Slice index 71 | Axial view | Image size 240x240 | Image width 240 mm, 1.00 mm slice spacing
FLAIR magnetic resonance.
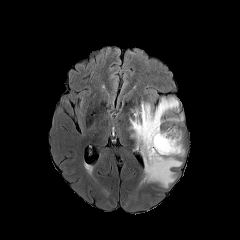
T1-weighted MRI.
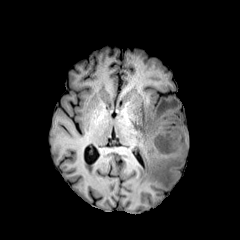
Post-contrast T1-weighted magnetic resonance.
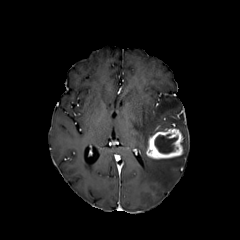
T2-weighted MR.
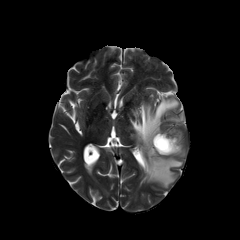
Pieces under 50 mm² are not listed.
The 2 largest peritumoral edema regions appear at <bbox>130, 97, 182, 187</bbox>, <bbox>167, 115, 183, 122</bbox>. The necrotic tumor core appears at <bbox>155, 134, 177, 153</bbox>. The largest enhancing tumor region is bounded by <bbox>146, 128, 183, 159</bbox>.